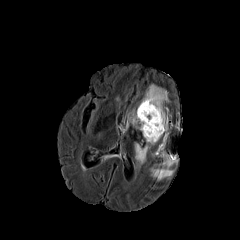
FLAIR MRI.
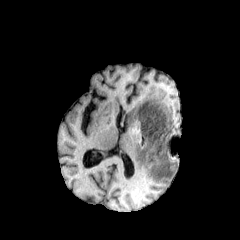
T1-weighted MR image.
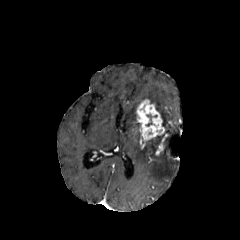
Same slice, post-contrast T1-weighted MR.
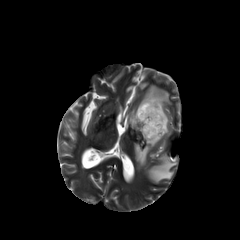
T2-weighted magnetic resonance.
Brain
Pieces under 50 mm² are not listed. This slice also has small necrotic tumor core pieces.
enhancing_tumor:
  - region(136, 99, 165, 141)
  - region(155, 133, 168, 155)
peritumoral_edema:
  - region(142, 84, 169, 134)
  - region(129, 110, 139, 125)
  - region(135, 136, 161, 165)
  - region(150, 148, 177, 181)